Head. Slice 67 of 155. Axial slice.
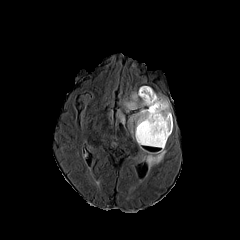
FLAIR magnetic resonance.
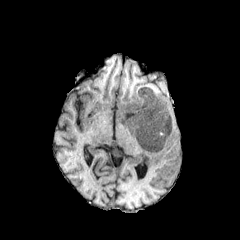
T1-weighted magnetic resonance.
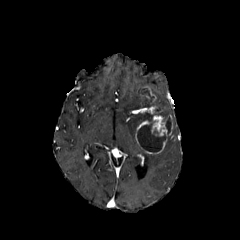
Post-contrast T1-weighted magnetic resonance.
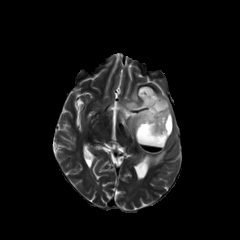
T2-weighted MR image of the same slice.
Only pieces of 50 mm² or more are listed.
necrotic tumor core — (left=137, top=123, right=166, bottom=152), (left=143, top=88, right=154, bottom=100), (left=166, top=117, right=171, bottom=133)
enhancing tumor — (left=135, top=105, right=172, bottom=154), (left=141, top=87, right=156, bottom=102)
peritumoral edema — (left=128, top=112, right=153, bottom=135), (left=146, top=148, right=166, bottom=168), (left=119, top=112, right=124, bottom=125), (left=123, top=86, right=171, bottom=118)